Slice 91 of 155. Image covers 240 mm x 240 mm.
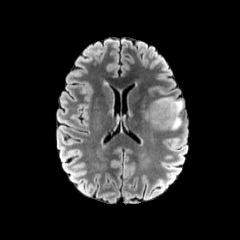
FLAIR MR.
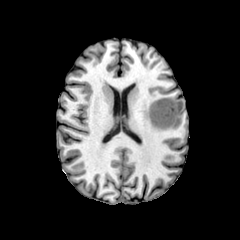
T1-weighted MR image.
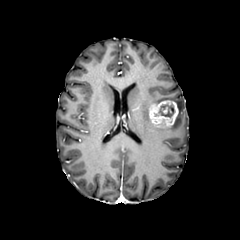
Post-contrast T1-weighted magnetic resonance.
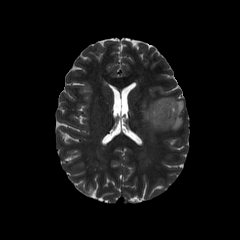
T2-weighted MR image of the same slice.
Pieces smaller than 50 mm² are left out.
The largest peritumoral edema region is at bbox=[154, 97, 183, 129]. The necrotic tumor core is at bbox=[159, 105, 174, 117]. The largest enhancing tumor region lies within bbox=[149, 100, 178, 128].